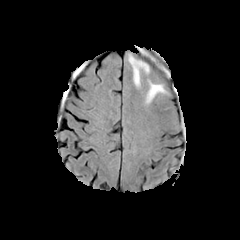
FLAIR magnetic resonance.
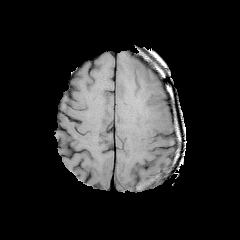
T1-weighted MR.
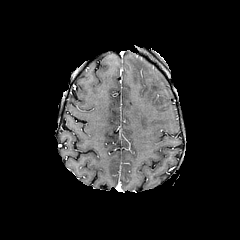
Same slice, post-contrast T1-weighted MR image.
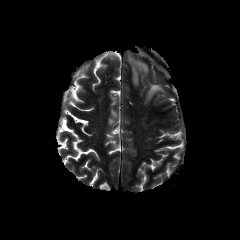
T2-weighted MR.
Brain | 240x240
peritumoral_edema:
  - [128, 55, 149, 86]
  - [146, 81, 164, 103]